Axial plane.
FLAIR MRI.
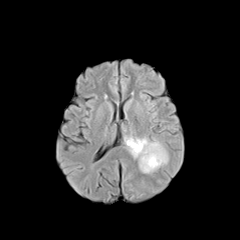
T1-weighted magnetic resonance.
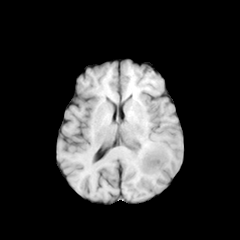
Post-contrast T1-weighted MRI.
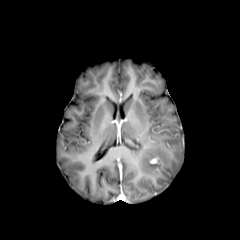
T2-weighted MR image.
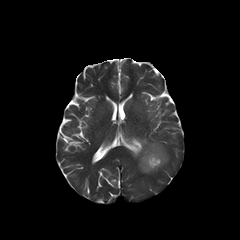
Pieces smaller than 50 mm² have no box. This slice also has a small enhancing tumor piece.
peritumoral_edema:
  - 124, 136, 168, 172